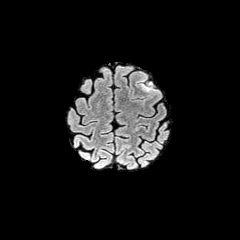
FLAIR MR.
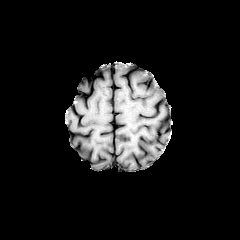
T1-weighted MRI.
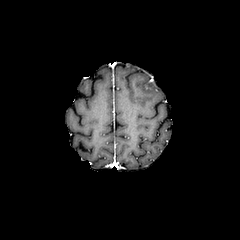
Post-contrast T1-weighted magnetic resonance.
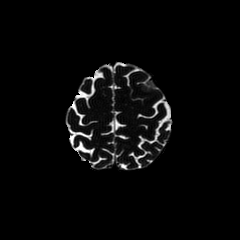
T2-weighted MRI.
Brain
peritumoral edema: region(140, 81, 157, 92)